FLAIR MR image.
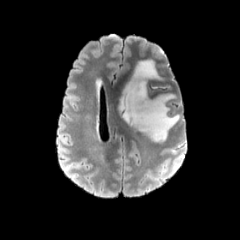
T1-weighted MR.
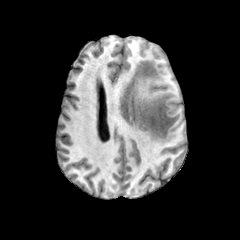
Post-contrast T1-weighted MR.
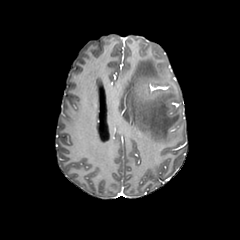
T2-weighted magnetic resonance.
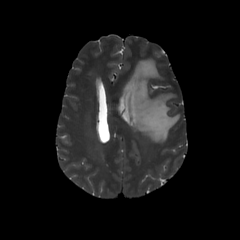
Brain
Annotated regions:
• peritumoral edema: [118,59,179,142]